Axial view. Brain.
FLAIR MR image.
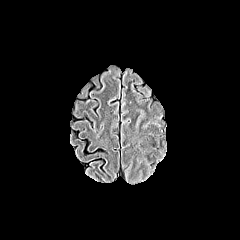
T1-weighted MRI.
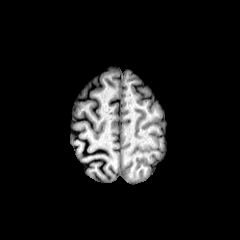
Post-contrast T1-weighted MR.
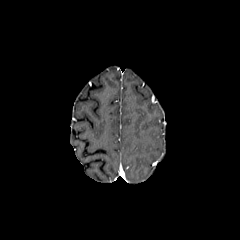
T2-weighted MR.
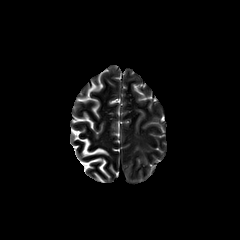
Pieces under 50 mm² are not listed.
peritumoral_edema:
  - 135:109:145:126